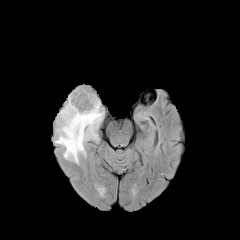
FLAIR MR.
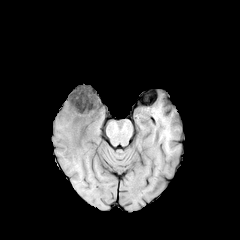
Same slice, T1-weighted MRI.
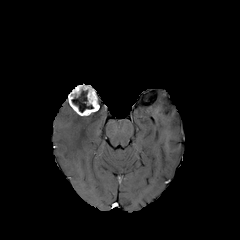
Same slice, post-contrast T1-weighted MRI.
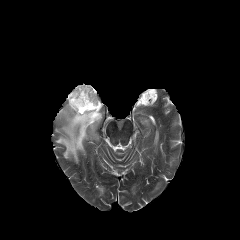
T2-weighted MRI.
240x240 px.
necrotic tumor core: bbox=[72, 91, 93, 112] | enhancing tumor: bbox=[68, 84, 99, 115] | peritumoral edema: bbox=[55, 100, 104, 163]